Axial slice | Slice 122/155
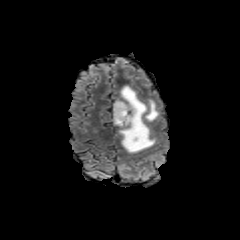
FLAIR MR.
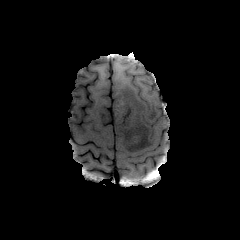
Same slice, T1-weighted MRI.
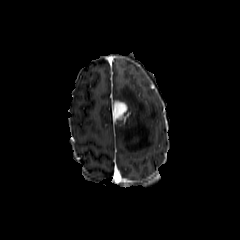
Same slice, post-contrast T1-weighted MR image.
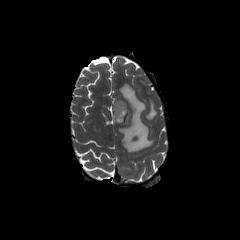
T2-weighted MR of the same slice.
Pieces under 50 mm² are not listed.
enhancing tumor: region(112, 100, 130, 124) | peritumoral edema: region(115, 85, 158, 152)